Image width 240 mm | Brain
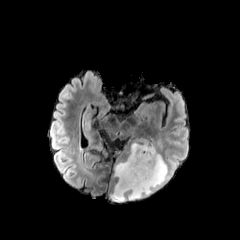
FLAIR MR image.
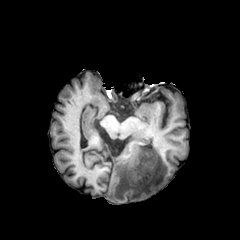
Same slice, T1-weighted MRI.
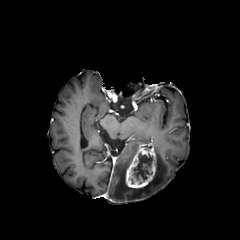
Post-contrast T1-weighted magnetic resonance.
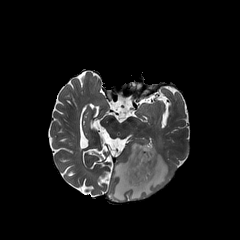
Same slice, T2-weighted MRI.
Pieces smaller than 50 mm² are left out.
The enhancing tumor is bounded by [x1=125, y1=143, x2=156, y2=188]. The largest necrotic tumor core region is bounded by [x1=130, y1=153, x2=152, y2=185]. The peritumoral edema is located at [x1=110, y1=138, x2=168, y2=201].